FLAIR MR.
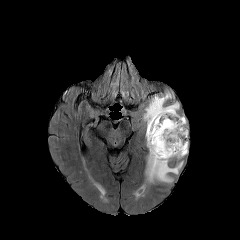
T1-weighted magnetic resonance.
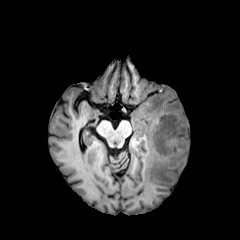
Post-contrast T1-weighted magnetic resonance.
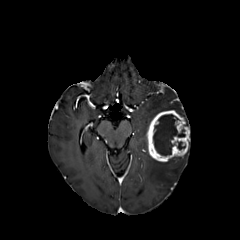
T2-weighted MRI.
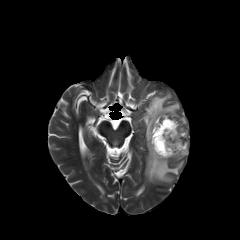
Image size 240x240
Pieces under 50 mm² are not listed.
enhancing_tumor:
  - bbox=[146, 110, 189, 162]
necrotic_tumor_core:
  - bbox=[153, 114, 185, 155]
peritumoral_edema:
  - bbox=[144, 92, 179, 129]
  - bbox=[146, 155, 183, 182]